FLAIR MR.
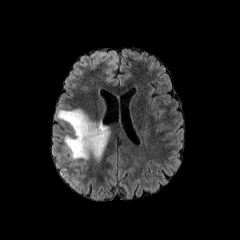
T1-weighted MR image.
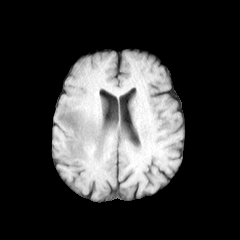
Post-contrast T1-weighted MRI.
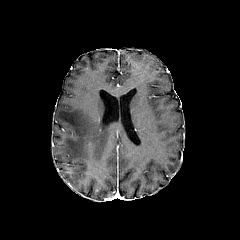
T2-weighted MR image.
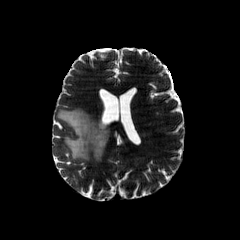
Head, Axial view
peritumoral edema at box=[57, 109, 109, 160]